Head, Slice index 84
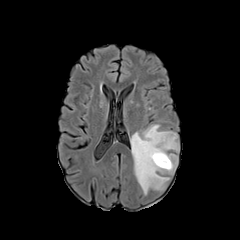
FLAIR MR.
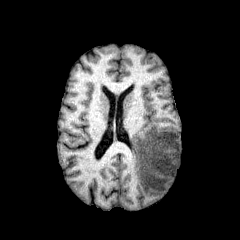
Same slice, T1-weighted magnetic resonance.
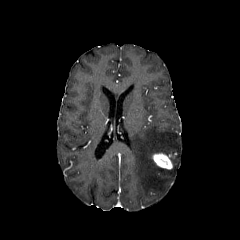
Post-contrast T1-weighted magnetic resonance.
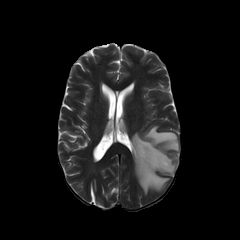
T2-weighted magnetic resonance.
enhancing tumor at bbox=[152, 153, 173, 169]
peritumoral edema at bbox=[130, 125, 179, 194]